Slice index 114
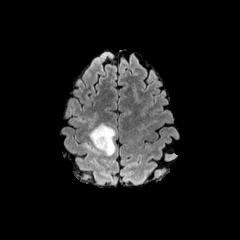
FLAIR MRI.
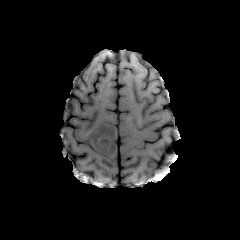
T1-weighted MR.
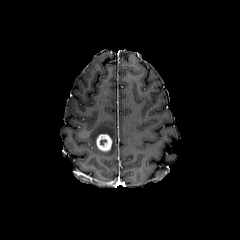
Post-contrast T1-weighted MR.
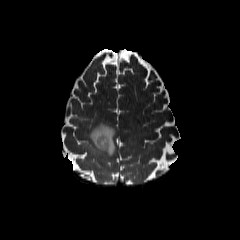
Same slice, T2-weighted MR.
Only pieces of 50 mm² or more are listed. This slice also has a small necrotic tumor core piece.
{"peritumoral_edema": ["83 123 115 155"], "enhancing_tumor": ["95 134 112 151"]}